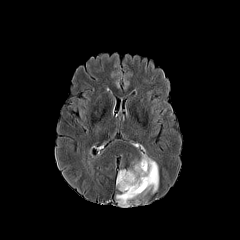
FLAIR MR.
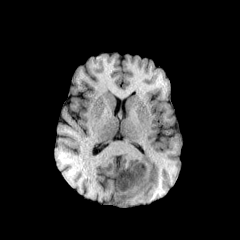
Same slice, T1-weighted MR image.
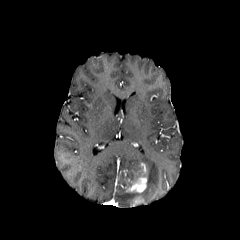
Same slice, post-contrast T1-weighted magnetic resonance.
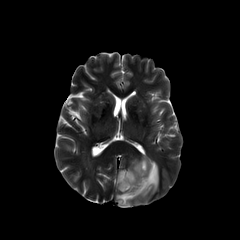
Same slice, T2-weighted MRI.
Axial view. Brain.
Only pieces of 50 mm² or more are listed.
peritumoral edema = <box>116,154,158,207</box>
enhancing tumor = <box>120,162,147,192</box>